FLAIR MRI.
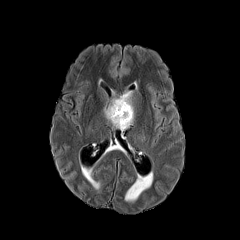
T1-weighted MR image.
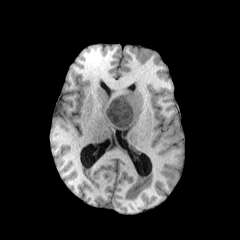
Post-contrast T1-weighted MRI.
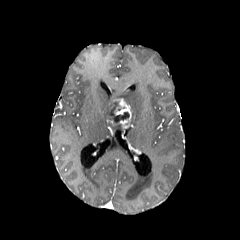
T2-weighted MR image.
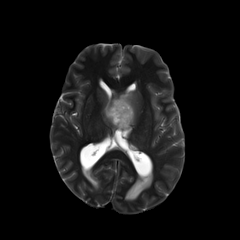
Axial plane.
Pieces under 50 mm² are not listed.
enhancing tumor: bounding box [x1=107, y1=98, x2=131, y2=129]
necrotic tumor core: bounding box [x1=108, y1=102, x2=129, y2=123]
peritumoral edema: bounding box [x1=104, y1=101, x2=114, y2=118], [x1=119, y1=91, x2=133, y2=123]